240x240 px; Image width 240 mm, 1.00 mm slice spacing; Head
FLAIR MRI.
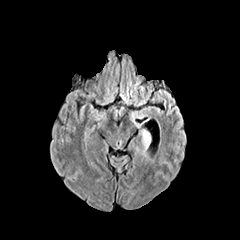
T1-weighted magnetic resonance.
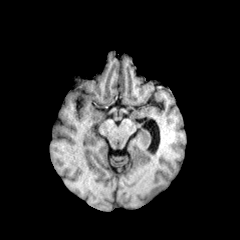
Post-contrast T1-weighted MR image.
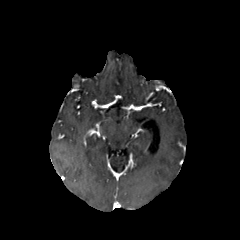
T2-weighted MR.
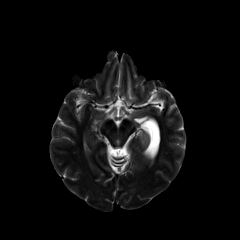
The peritumoral edema is bounded by (x1=143, y1=134, x2=149, y2=148).